FLAIR MRI.
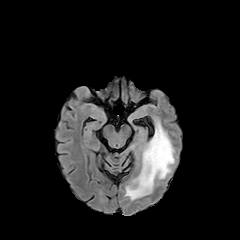
T1-weighted magnetic resonance.
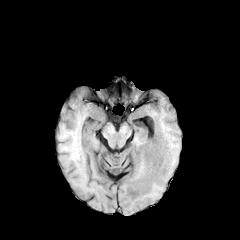
Post-contrast T1-weighted MRI.
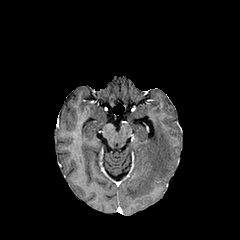
T2-weighted MRI.
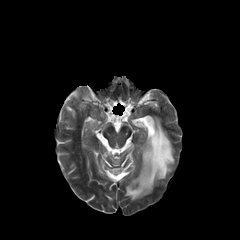
Image size 240x240.
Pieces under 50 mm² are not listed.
{"peritumoral_edema": ["bbox=[125, 118, 174, 200]"]}